FLAIR MR.
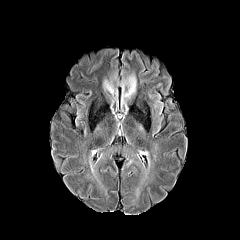
T1-weighted magnetic resonance.
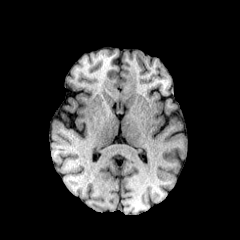
Post-contrast T1-weighted MRI.
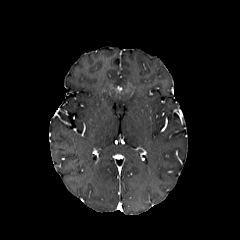
T2-weighted magnetic resonance.
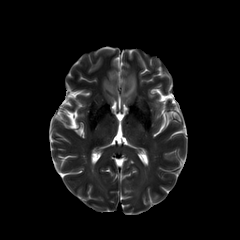
Axial view, Brain
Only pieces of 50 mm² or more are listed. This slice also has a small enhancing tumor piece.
peritumoral edema: rect(121, 73, 136, 101); rect(103, 80, 117, 95)